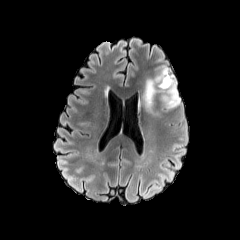
FLAIR magnetic resonance.
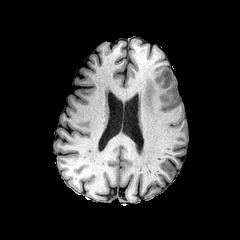
T1-weighted MRI of the same slice.
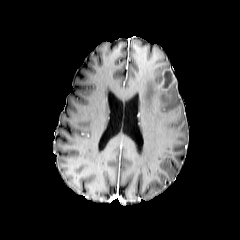
Post-contrast T1-weighted magnetic resonance.
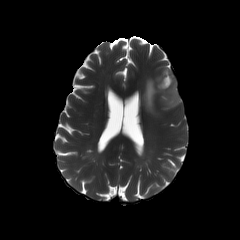
T2-weighted MR.
Axial plane
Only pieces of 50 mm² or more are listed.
The largest peritumoral edema region appears at bbox=[140, 72, 180, 116]. The necrotic tumor core is located at bbox=[162, 72, 172, 87]. The enhancing tumor is at bbox=[156, 70, 174, 90].